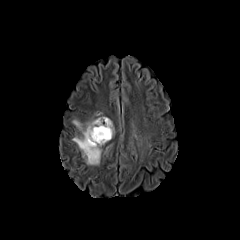
FLAIR MR image.
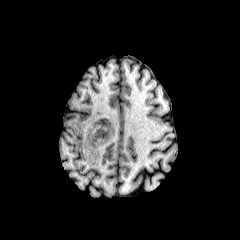
Same slice, T1-weighted magnetic resonance.
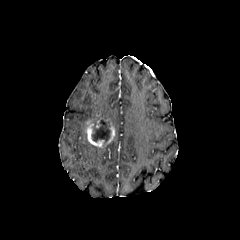
Post-contrast T1-weighted MRI.
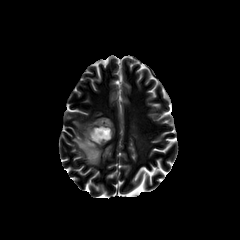
T2-weighted MR image of the same slice.
Axial view, Head
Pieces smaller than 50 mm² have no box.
necrotic tumor core — (92,119,110,144)
peritumoral edema — (89,112,108,121), (72,119,102,165)
enhancing tumor — (106,122,115,143), (84,121,104,147), (96,118,108,127)